Image width 240 mm, 1.00 mm slice spacing; Brain
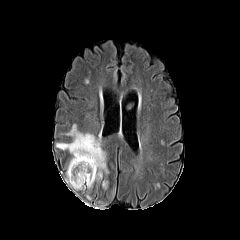
FLAIR MR image.
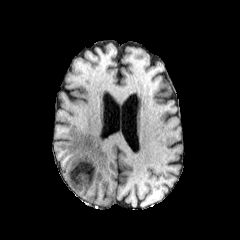
T1-weighted MRI of the same slice.
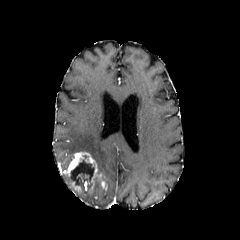
Post-contrast T1-weighted MR image of the same slice.
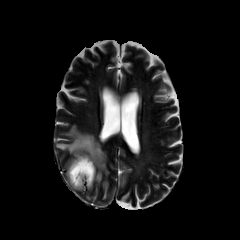
T2-weighted MR image of the same slice.
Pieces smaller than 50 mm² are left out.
The largest necrotic tumor core region is at (left=68, top=160, right=94, bottom=188). The largest peritumoral edema region is bounded by (left=56, top=124, right=108, bottom=175). The 2 largest enhancing tumor regions appear at (left=69, top=180, right=81, bottom=191), (left=64, top=151, right=107, bottom=189).